Image width 240 mm, 1.00 mm slice spacing | 240x240
FLAIR magnetic resonance.
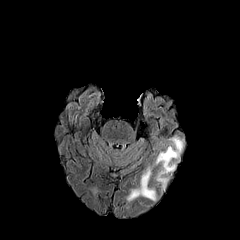
T1-weighted MRI.
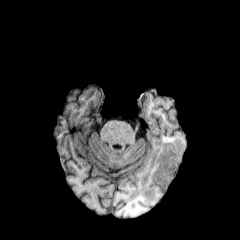
Post-contrast T1-weighted MR image.
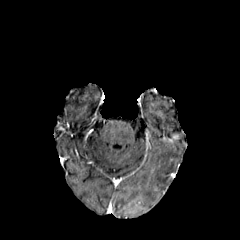
T2-weighted MRI.
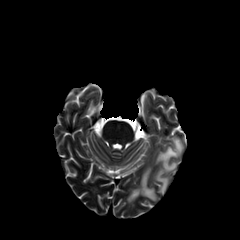
peritumoral edema: bounding box {"x1": 156, "y1": 138, "x2": 183, "y2": 189}, {"x1": 127, "y1": 168, "x2": 156, "y2": 201}